FLAIR MR.
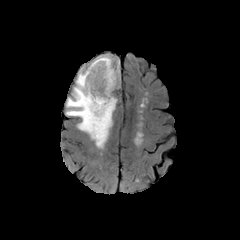
T1-weighted MR.
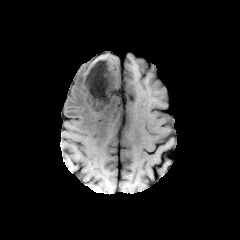
Post-contrast T1-weighted MR.
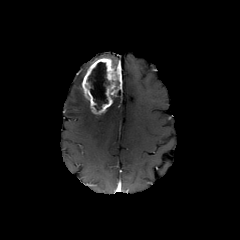
T2-weighted magnetic resonance.
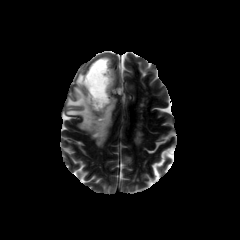
The peritumoral edema lies within 65:54:119:148. The enhancing tumor is located at 81:57:121:114. The necrotic tumor core is bounded by 88:62:109:110.